Brain. Image size 240x240. Image width 240 mm, 1.00 mm slice spacing. Slice 111/155. Axial slice.
FLAIR MR image.
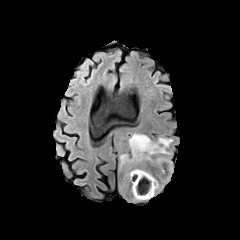
T1-weighted MR image.
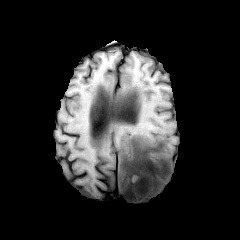
Post-contrast T1-weighted MR image.
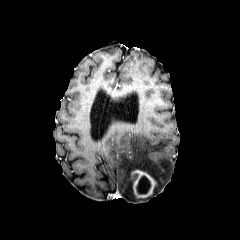
T2-weighted magnetic resonance.
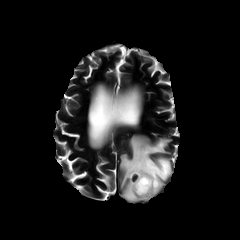
{
  "necrotic_tumor_core": [
    {"x1": 136, "y1": 176, "x2": 150, "y2": 194}
  ],
  "enhancing_tumor": [
    {"x1": 131, "y1": 169, "x2": 156, "y2": 198}
  ],
  "peritumoral_edema": [
    {"x1": 119, "y1": 134, "x2": 172, "y2": 201}
  ]
}